FLAIR MR.
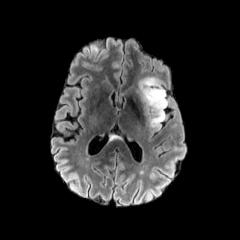
T1-weighted magnetic resonance.
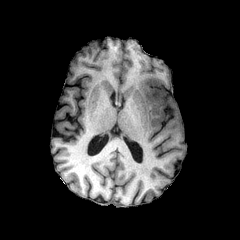
Post-contrast T1-weighted MRI.
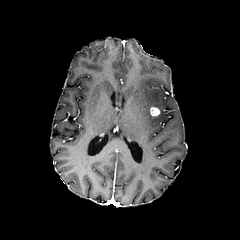
T2-weighted MR.
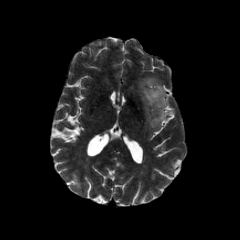
Axial view | Brain | Image size 240x240
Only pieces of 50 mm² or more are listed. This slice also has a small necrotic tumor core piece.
enhancing tumor at region(150, 106, 160, 116)
peritumoral edema at region(138, 76, 167, 130)